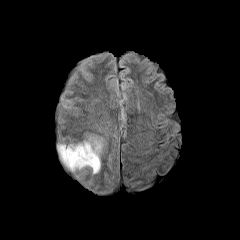
FLAIR MRI.
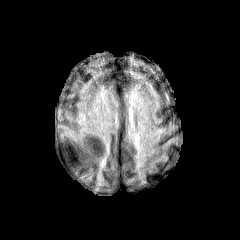
Same slice, T1-weighted MR image.
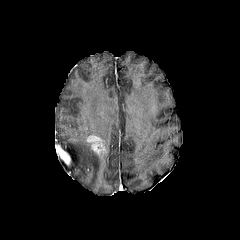
Post-contrast T1-weighted MRI.
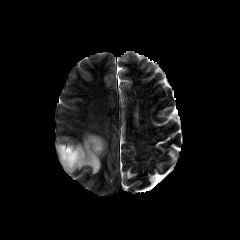
Same slice, T2-weighted MR image.
Axial plane. Head.
enhancing tumor: bounding box x1=56 y1=144 x2=71 y2=165, x1=86 y1=135 x2=105 y2=156
peritumoral edema: bounding box x1=60 y1=139 x2=100 y2=173